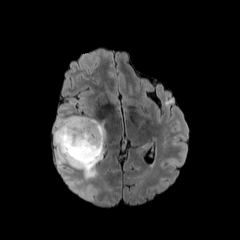
FLAIR MRI.
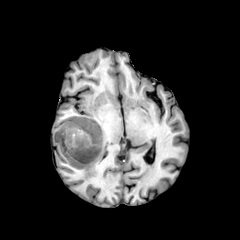
Same slice, T1-weighted MR image.
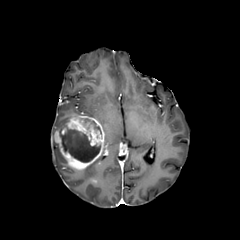
Post-contrast T1-weighted magnetic resonance of the same slice.
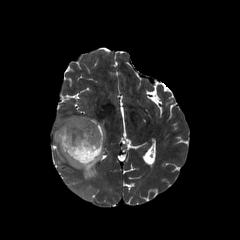
Same slice, T2-weighted MR image.
Brain. Axial slice.
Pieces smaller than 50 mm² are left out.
necrotic tumor core at bbox=[60, 128, 100, 162]
peritumoral edema at bbox=[53, 133, 66, 163]; bbox=[83, 155, 102, 178]; bbox=[54, 116, 72, 132]
enhancing tumor at bbox=[54, 115, 105, 170]